FLAIR MR.
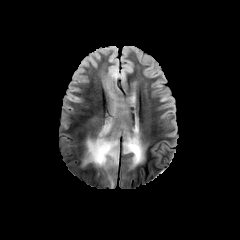
T1-weighted MRI.
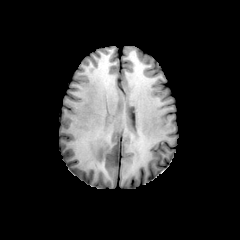
Post-contrast T1-weighted MR image.
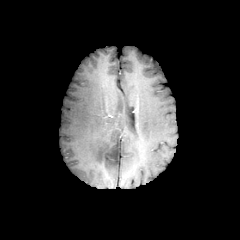
T2-weighted MR.
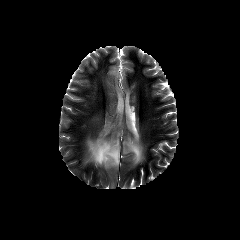
Head, 240x240, Axial slice
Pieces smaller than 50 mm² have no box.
The 2 largest peritumoral edema regions appear at [84,121,119,168], [123,136,143,165].